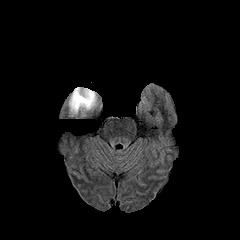
FLAIR MR.
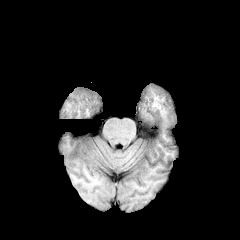
T1-weighted MR image of the same slice.
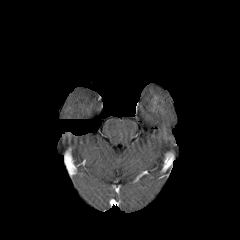
Post-contrast T1-weighted MRI of the same slice.
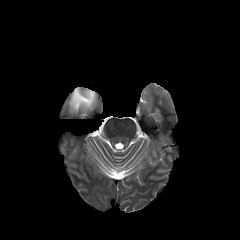
Same slice, T2-weighted MRI.
Head. Axial plane.
<segmentation>
  <peritumoral_edema>69:87:96:113</peritumoral_edema>
</segmentation>